Axial slice. 240x240 px.
FLAIR MRI.
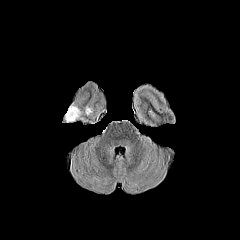
T1-weighted MR image.
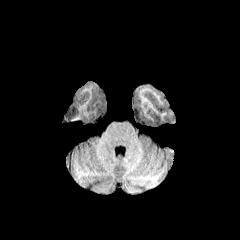
Post-contrast T1-weighted MR.
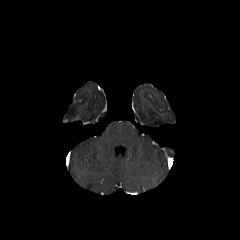
T2-weighted MR.
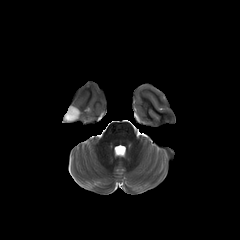
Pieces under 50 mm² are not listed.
The largest peritumoral edema region lies within 66,105,81,120.